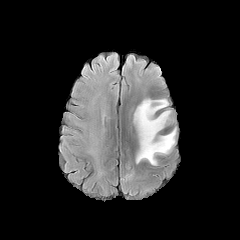
FLAIR MR.
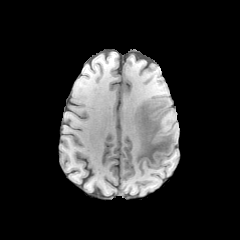
T1-weighted MRI of the same slice.
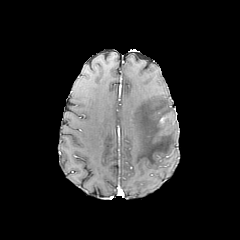
Post-contrast T1-weighted magnetic resonance of the same slice.
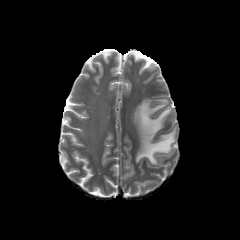
T2-weighted magnetic resonance of the same slice.
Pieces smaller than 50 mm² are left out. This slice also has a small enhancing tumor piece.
peritumoral edema: [133,99,176,165]